FLAIR MRI.
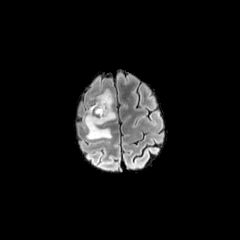
T1-weighted MR image.
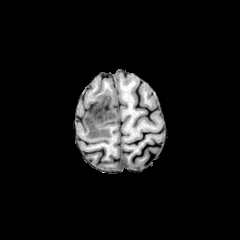
Post-contrast T1-weighted MR.
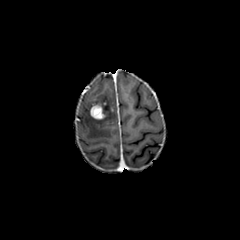
T2-weighted MRI.
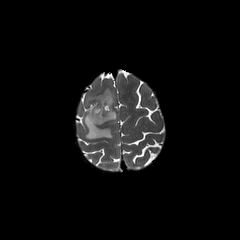
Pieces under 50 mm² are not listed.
enhancing_tumor:
  - l=90, t=102, r=107, b=119
peritumoral_edema:
  - l=83, t=89, r=116, b=139